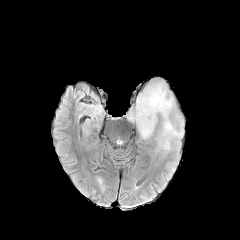
FLAIR MR.
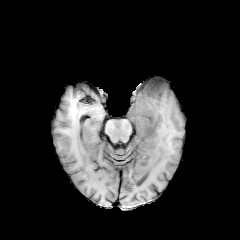
Same slice, T1-weighted MRI.
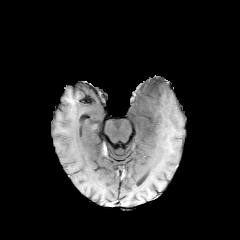
Same slice, post-contrast T1-weighted MR image.
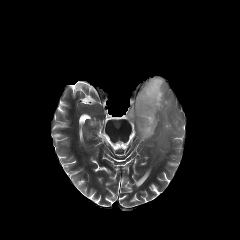
T2-weighted MR of the same slice.
Head | Axial slice
The peritumoral edema is bounded by box(126, 76, 183, 147).